Brain. Slice index 33. Axial slice.
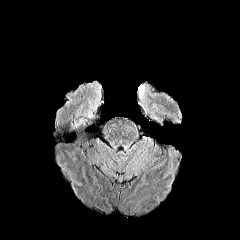
FLAIR magnetic resonance.
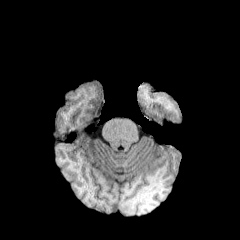
T1-weighted MRI.
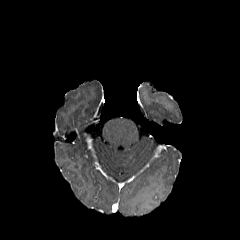
Post-contrast T1-weighted magnetic resonance of the same slice.
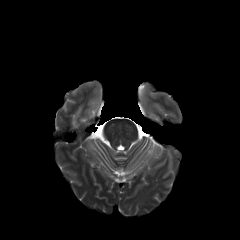
Same slice, T2-weighted MRI.
<segmentation>
  <peritumoral_edema>rect(139, 85, 144, 100)</peritumoral_edema>
</segmentation>